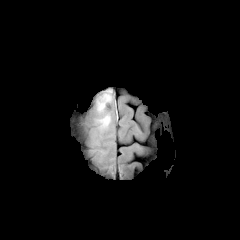
FLAIR MRI.
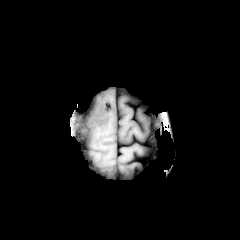
T1-weighted magnetic resonance.
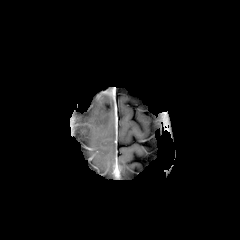
Post-contrast T1-weighted MRI.
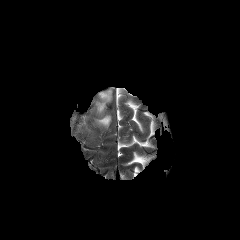
T2-weighted MR image of the same slice.
Head
peritumoral edema = bbox=[86, 89, 115, 128]